FLAIR magnetic resonance.
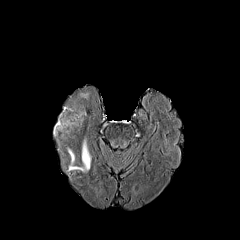
T1-weighted magnetic resonance.
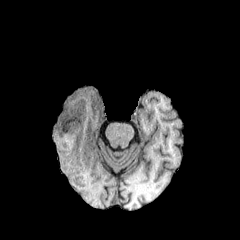
Post-contrast T1-weighted MR image.
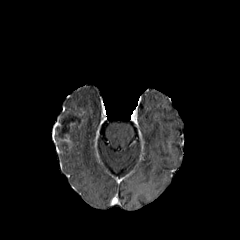
T2-weighted MR.
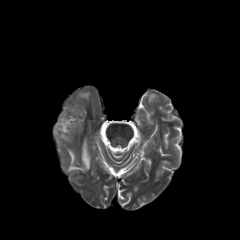
Brain; Axial slice
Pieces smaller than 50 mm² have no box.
Annotated regions:
• necrotic tumor core: box(55, 104, 83, 139)
• peritumoral edema: box(68, 140, 90, 171)
• enhancing tumor: box(53, 115, 70, 142)